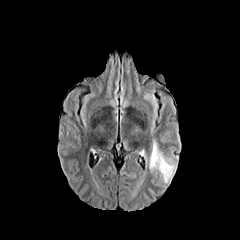
FLAIR MR.
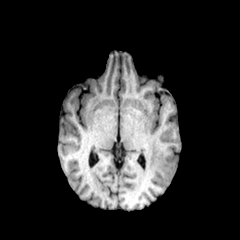
T1-weighted MR of the same slice.
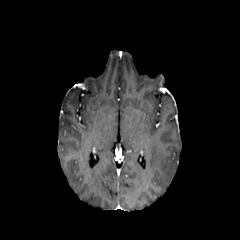
Post-contrast T1-weighted magnetic resonance.
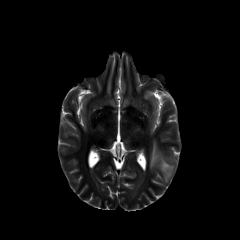
T2-weighted MRI of the same slice.
peritumoral edema — region(149, 140, 176, 182)